Slice 57/155. 240x240 px. Axial slice.
FLAIR MRI.
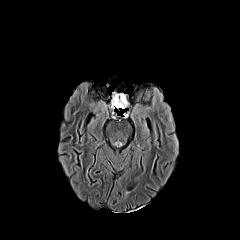
T1-weighted MR image.
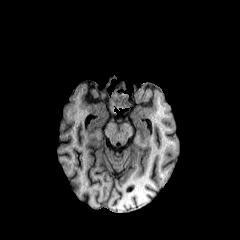
Post-contrast T1-weighted MR image.
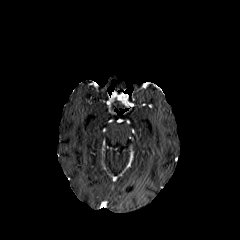
T2-weighted magnetic resonance.
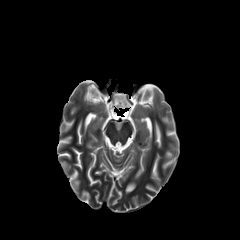
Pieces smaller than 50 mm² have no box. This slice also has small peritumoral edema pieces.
The necrotic tumor core appears at [111, 98, 126, 110]. The largest enhancing tumor region appears at [112, 93, 128, 107].